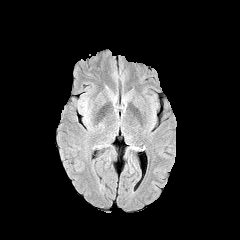
FLAIR MR image.
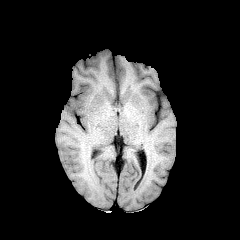
T1-weighted MRI.
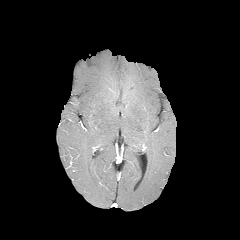
Post-contrast T1-weighted MR.
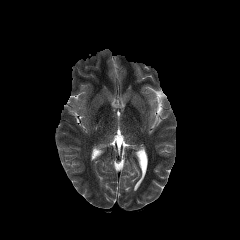
T2-weighted magnetic resonance of the same slice.
Head.
Findings:
• peritumoral edema: rect(77, 98, 87, 121)